Axial view; Brain
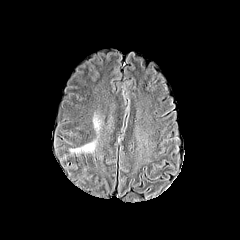
FLAIR MRI.
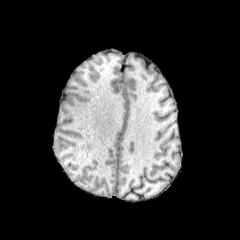
T1-weighted magnetic resonance.
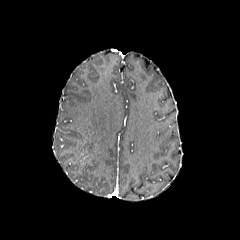
Post-contrast T1-weighted MR image of the same slice.
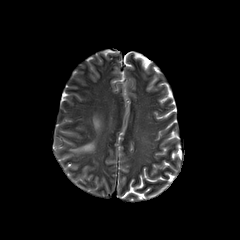
Same slice, T2-weighted MR image.
2 peritumoral edema regions appear at x1=71 y1=142 x2=94 y2=152, x1=94 y1=118 x2=99 y2=129.